Slice 47/155; Brain
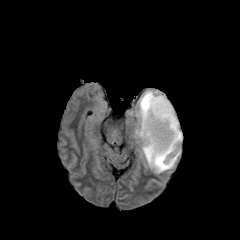
FLAIR MR image.
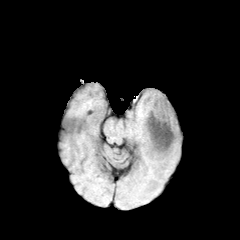
T1-weighted magnetic resonance.
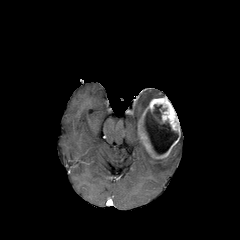
Post-contrast T1-weighted MRI.
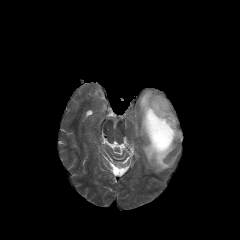
T2-weighted magnetic resonance of the same slice.
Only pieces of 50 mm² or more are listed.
necrotic tumor core: 143:105:178:154
peritumoral edema: 125:90:182:173
enhancing tumor: 138:96:180:160